Slice index 95; Axial slice
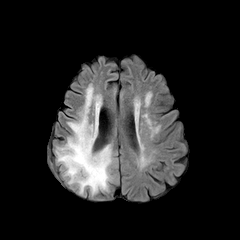
FLAIR magnetic resonance.
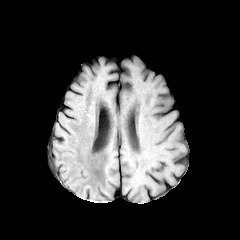
T1-weighted MRI.
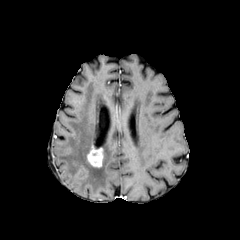
Post-contrast T1-weighted MRI of the same slice.
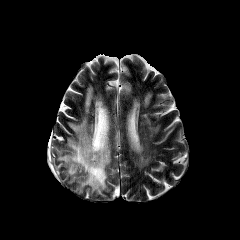
T2-weighted magnetic resonance of the same slice.
peritumoral edema: bounding box (left=56, top=84, right=112, bottom=193)
enhancing tumor: bounding box (left=87, top=145, right=103, bottom=167)